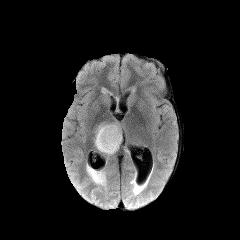
FLAIR magnetic resonance.
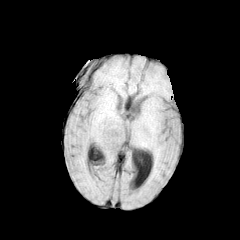
T1-weighted MR image.
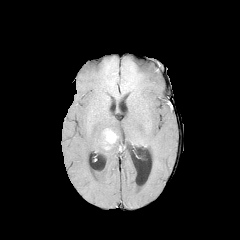
Post-contrast T1-weighted MRI.
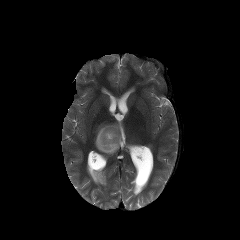
Same slice, T2-weighted magnetic resonance.
Axial plane
The enhancing tumor is at <bbox>102, 128, 118, 149</bbox>. The peritumoral edema is bounded by <bbox>94, 123, 122, 155</bbox>.